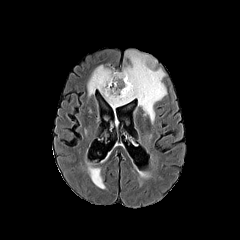
FLAIR magnetic resonance.
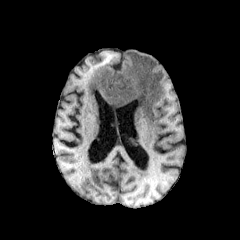
T1-weighted MR.
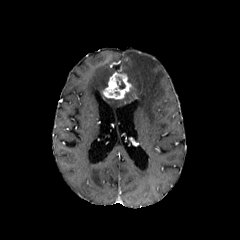
Post-contrast T1-weighted MR image.
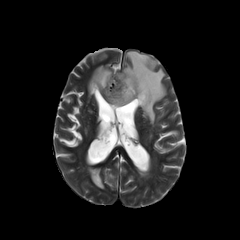
Same slice, T2-weighted MRI.
Axial slice
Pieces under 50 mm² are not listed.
The enhancing tumor is located at 102, 72, 132, 99. The largest necrotic tumor core region is located at 117, 77, 125, 89. 3 peritumoral edema regions are bounded by 87, 64, 114, 96; 87, 167, 104, 188; 105, 50, 166, 123.